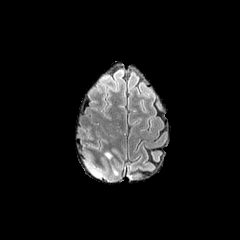
FLAIR MR image.
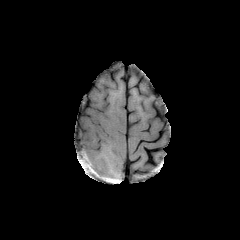
Same slice, T1-weighted MRI.
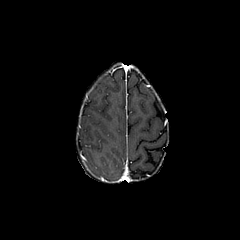
Post-contrast T1-weighted MRI.
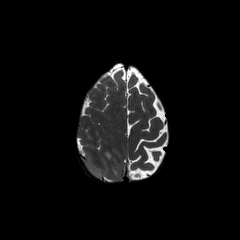
T2-weighted MR image.
Brain
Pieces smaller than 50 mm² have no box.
The largest peritumoral edema region lies within left=87, top=164, right=99, bottom=176.